FLAIR MR.
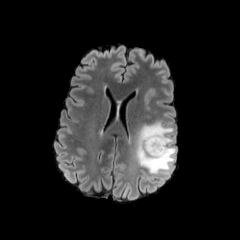
T1-weighted MR image.
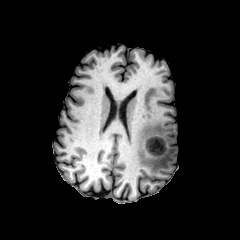
Post-contrast T1-weighted MR image.
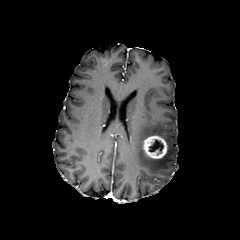
T2-weighted MR image.
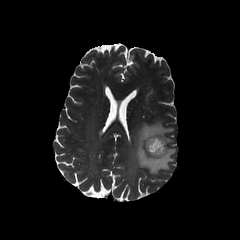
Brain. Axial view.
<segmentation>
  <enhancing_tumor>(143,135,167,159)</enhancing_tumor>
  <peritumoral_edema>(135,120,176,174)</peritumoral_edema>
  <necrotic_tumor_core>(148,139,164,154)</necrotic_tumor_core>
</segmentation>